Slice 89/155, Axial view
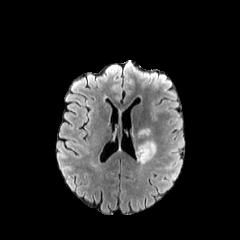
FLAIR MR.
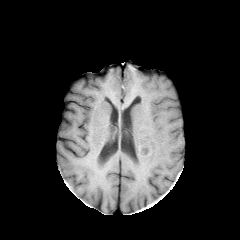
T1-weighted MRI.
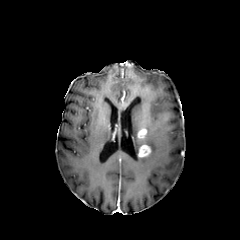
Same slice, post-contrast T1-weighted MRI.
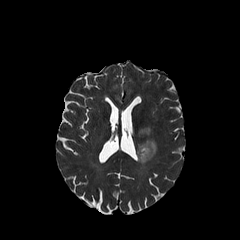
T2-weighted MR image of the same slice.
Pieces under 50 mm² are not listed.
peritumoral edema = [x1=136, y1=141, x2=156, y2=164]
enhancing tumor = [x1=138, y1=129, x2=147, y2=138], [x1=138, y1=144, x2=150, y2=157]